FLAIR MR.
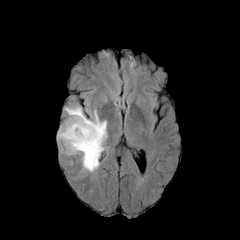
T1-weighted MRI.
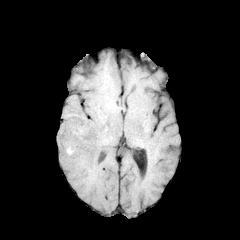
Post-contrast T1-weighted MR.
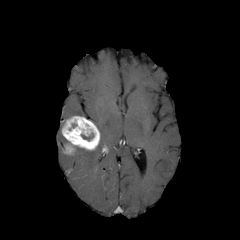
T2-weighted magnetic resonance.
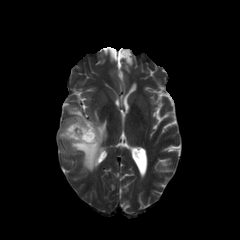
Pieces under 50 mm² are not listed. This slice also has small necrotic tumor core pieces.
peritumoral edema: x1=57, y1=125, x2=66, y2=153; x1=65, y1=106, x2=85, y2=117; x1=75, y1=110, x2=107, y2=172
enhancing tumor: x1=61, y1=116, x2=100, y2=154